FLAIR MRI.
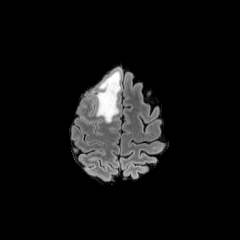
T1-weighted MR.
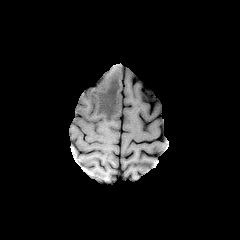
Post-contrast T1-weighted MRI.
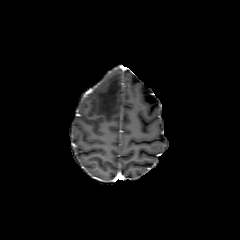
T2-weighted MRI.
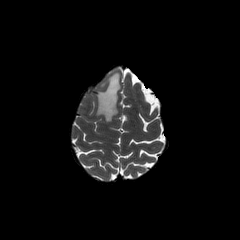
Brain; Axial slice; 240x240 px
Annotated regions:
- peritumoral edema: 93, 69, 121, 122